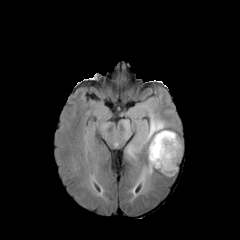
FLAIR MR image.
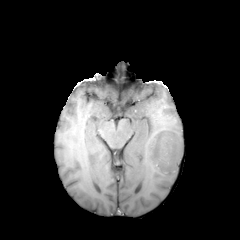
T1-weighted MR image of the same slice.
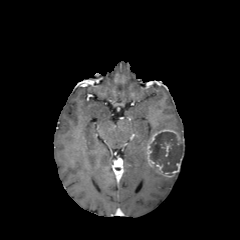
Same slice, post-contrast T1-weighted MR.
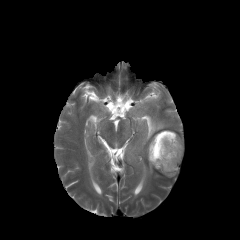
T2-weighted MR.
240x240 px | Head
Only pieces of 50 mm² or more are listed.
The 2 largest peritumoral edema regions appear at [126, 104, 167, 160], [130, 164, 157, 198]. The necrotic tumor core is at [150, 132, 182, 175]. The 2 largest enhancing tumor regions appear at [146, 129, 184, 177], [161, 142, 170, 156].